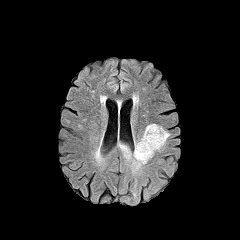
FLAIR MR image.
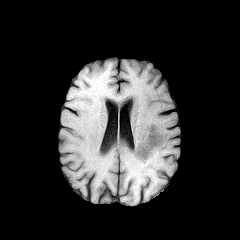
T1-weighted MR image.
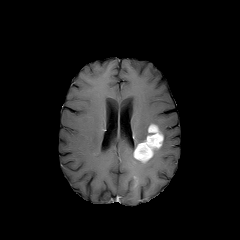
Same slice, post-contrast T1-weighted MRI.
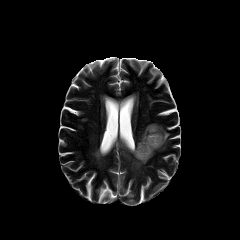
T2-weighted MRI of the same slice.
Axial plane | Brain
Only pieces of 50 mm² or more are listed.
{"enhancing_tumor": ["box=[133, 124, 163, 162]"], "peritumoral_edema": ["box=[154, 125, 170, 154]", "box=[134, 125, 149, 147]", "box=[117, 142, 145, 170]"]}